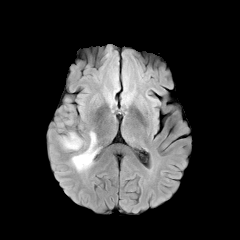
FLAIR magnetic resonance.
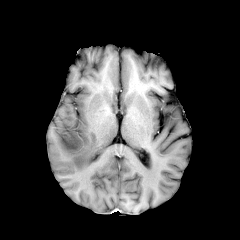
T1-weighted MR image.
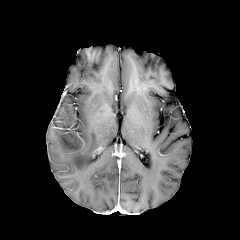
Post-contrast T1-weighted MR image of the same slice.
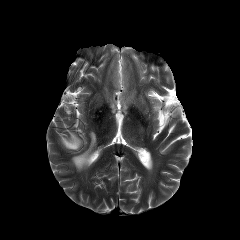
Same slice, T2-weighted MRI.
Axial view. Head.
peritumoral edema at (60,132,86,150), (71,131,99,171)